FLAIR MR image.
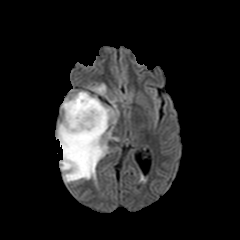
T1-weighted magnetic resonance.
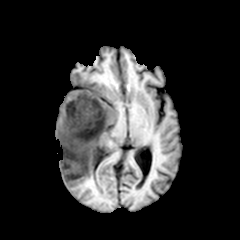
Post-contrast T1-weighted magnetic resonance.
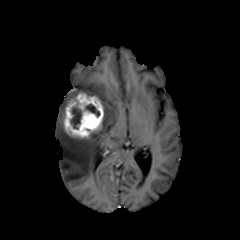
T2-weighted MR.
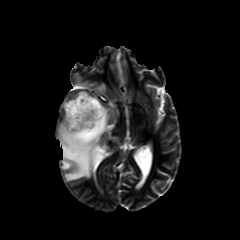
Head
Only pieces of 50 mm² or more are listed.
The enhancing tumor appears at <bbox>64, 92, 103, 138</bbox>. 2 necrotic tumor core regions are bounded by <bbox>86, 104, 99, 116</bbox>, <bbox>71, 107, 81, 129</bbox>. The 2 largest peritumoral edema regions are located at <bbox>88, 83, 105, 94</bbox>, <bbox>56, 105, 118, 182</bbox>.